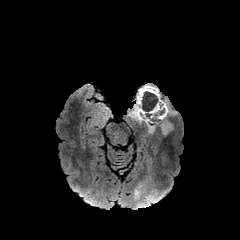
FLAIR MR image.
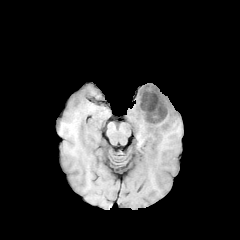
T1-weighted MRI.
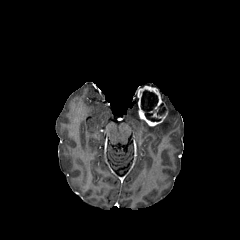
Post-contrast T1-weighted MR.
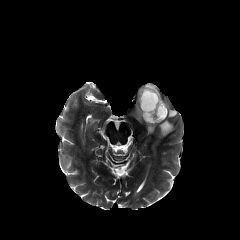
T2-weighted MR.
240x240 px, Axial view, Head
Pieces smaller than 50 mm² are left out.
- enhancing tumor: box(137, 85, 167, 126)
- peritumoral edema: box(127, 97, 155, 133); box(163, 98, 177, 116); box(158, 117, 173, 135)
- necrotic tumor core: box(141, 91, 160, 121)